Slice 43 of 155. Axial slice.
FLAIR MR image.
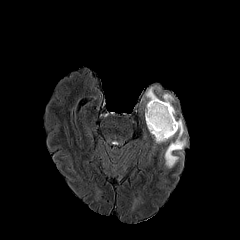
T1-weighted MRI.
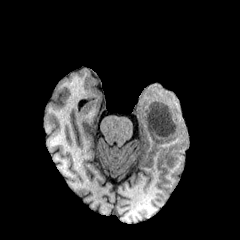
Post-contrast T1-weighted MR image.
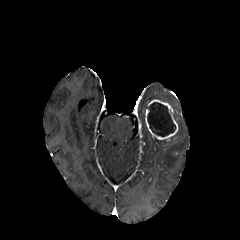
T2-weighted MRI.
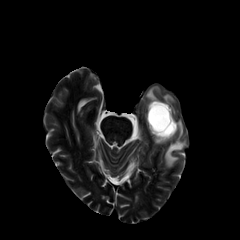
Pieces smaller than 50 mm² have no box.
Findings:
• peritumoral edema: [143,86,175,116], [164,118,186,168]
• enhancing tumor: [145,99,178,141]
• necrotic tumor core: [146,102,175,136]